Axial view | Head
FLAIR MR.
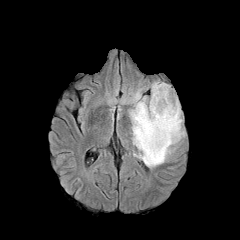
T1-weighted MR image.
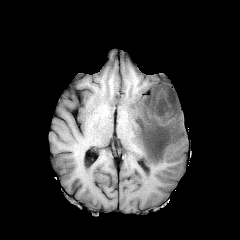
Post-contrast T1-weighted MR image.
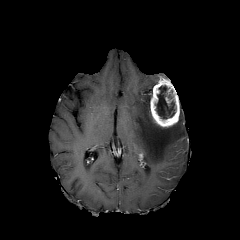
T2-weighted MR.
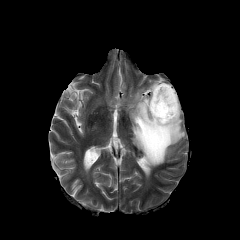
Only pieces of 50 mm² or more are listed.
necrotic tumor core = 156, 86, 175, 118
peritumoral edema = 129, 90, 185, 167
enhancing tumor = 150, 78, 180, 127